FLAIR magnetic resonance.
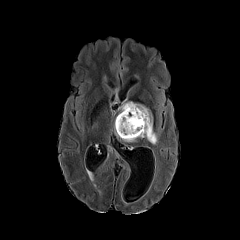
T1-weighted magnetic resonance.
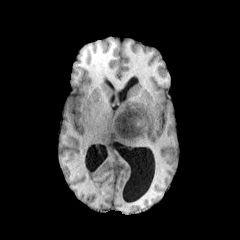
Post-contrast T1-weighted MR.
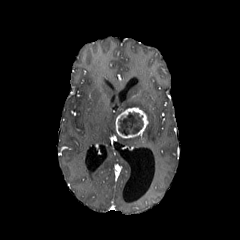
T2-weighted MR image.
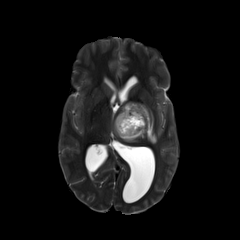
Brain | Axial view
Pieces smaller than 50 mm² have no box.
The enhancing tumor is located at (left=115, top=107, right=148, bottom=138). The necrotic tumor core appears at (left=118, top=110, right=143, bottom=135). The largest peritumoral edema region is at (left=119, top=102, right=157, bottom=144).